FLAIR magnetic resonance.
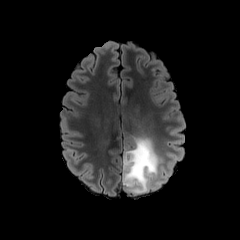
T1-weighted MRI.
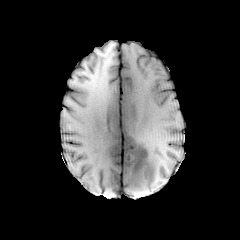
Post-contrast T1-weighted magnetic resonance.
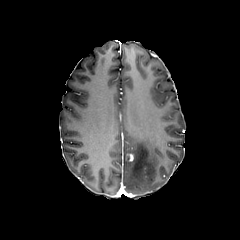
T2-weighted MRI.
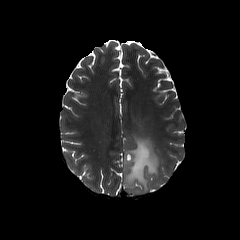
Brain; Axial view
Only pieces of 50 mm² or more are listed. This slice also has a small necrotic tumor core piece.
- peritumoral edema: [123,136,165,194]
- enhancing tumor: [126,153,133,161]